FLAIR magnetic resonance.
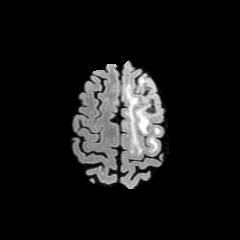
T1-weighted MR image.
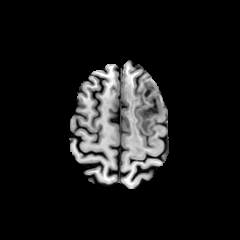
Post-contrast T1-weighted MR.
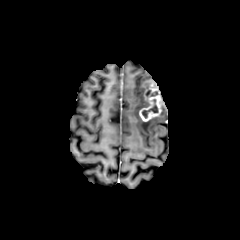
T2-weighted MR image.
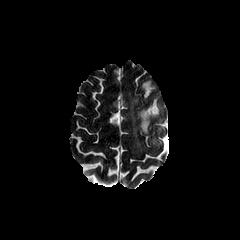
Axial plane | 240x240
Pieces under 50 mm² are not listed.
Segmented structures:
• enhancing tumor: bbox=[139, 80, 162, 121]
• peritumoral edema: bbox=[125, 85, 150, 152]; bbox=[149, 137, 158, 150]; bbox=[139, 78, 149, 90]
• necrotic tumor core: bbox=[142, 99, 158, 117]